240x240 px, Axial view
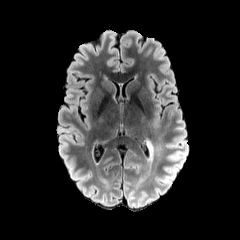
FLAIR magnetic resonance.
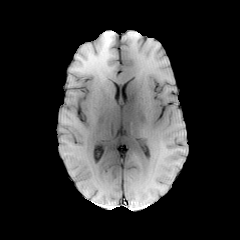
T1-weighted magnetic resonance.
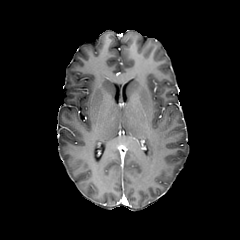
Post-contrast T1-weighted MR image of the same slice.
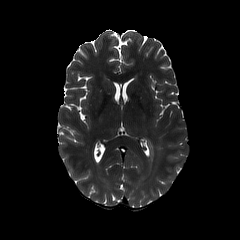
Same slice, T2-weighted MR.
Annotated regions:
• peritumoral edema: 146 142 152 153